240x240.
FLAIR magnetic resonance.
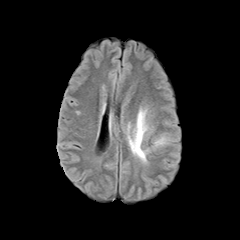
T1-weighted MRI.
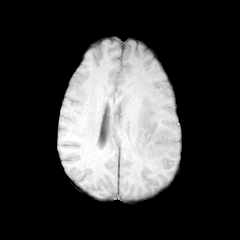
Post-contrast T1-weighted magnetic resonance.
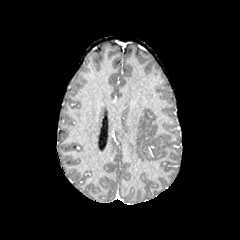
T2-weighted MRI.
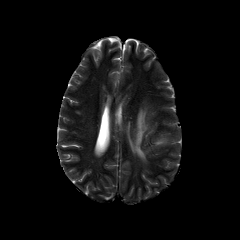
<segmentation>
  <peritumoral_edema>box=[128, 108, 147, 162]; box=[154, 137, 165, 145]</peritumoral_edema>
</segmentation>